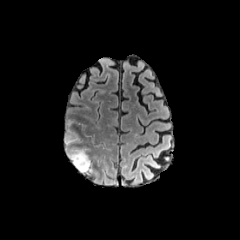
FLAIR MRI.
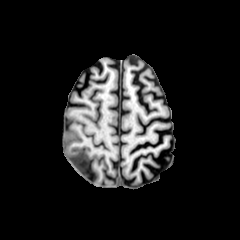
T1-weighted MR image of the same slice.
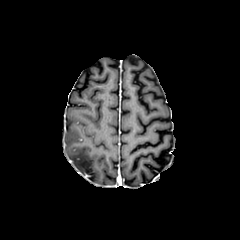
Post-contrast T1-weighted MR image.
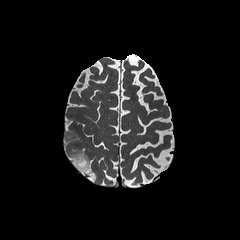
Same slice, T2-weighted MR image.
The peritumoral edema is at box=[64, 123, 92, 174].